Slice 102/155 | Image width 240 mm, 1.00 mm slice spacing
FLAIR MR image.
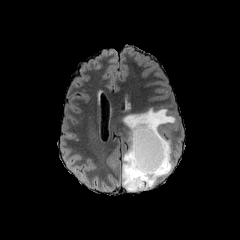
T1-weighted MR.
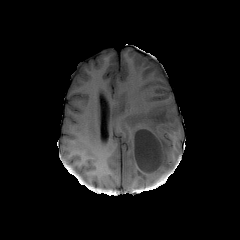
Post-contrast T1-weighted MR.
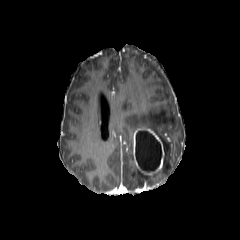
T2-weighted MR image.
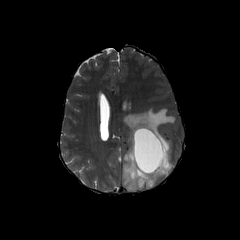
Annotated regions:
- enhancing tumor: {"x1": 133, "y1": 128, "x2": 166, "y2": 174}
- peritumoral edema: {"x1": 122, "y1": 108, "x2": 176, "y2": 191}
- necrotic tumor core: {"x1": 135, "y1": 130, "x2": 162, "y2": 172}